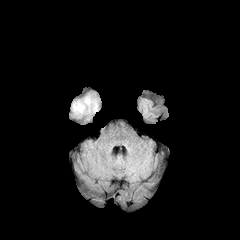
FLAIR magnetic resonance.
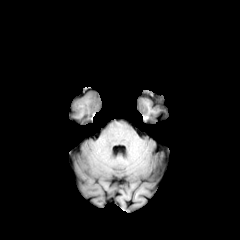
T1-weighted MRI.
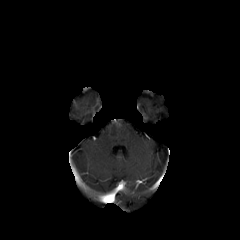
Same slice, post-contrast T1-weighted magnetic resonance.
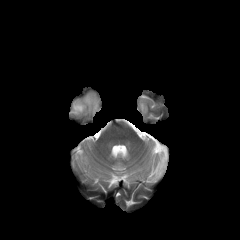
T2-weighted MRI of the same slice.
peritumoral edema at rect(72, 95, 97, 115)